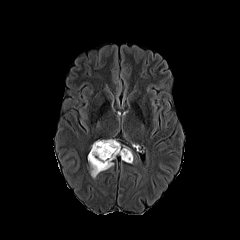
FLAIR MR image.
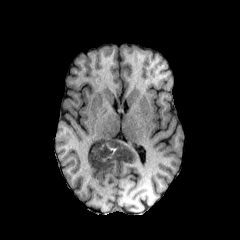
T1-weighted magnetic resonance.
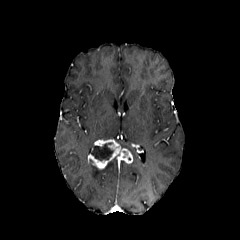
Post-contrast T1-weighted MR.
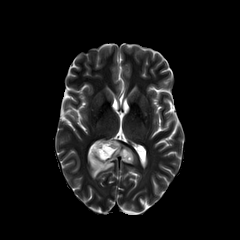
T2-weighted magnetic resonance.
Head; 240x240 px
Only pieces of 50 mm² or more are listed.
enhancing tumor = box(88, 139, 133, 169)
peritumoral edema = box(89, 160, 113, 178)
necrotic tumor core = box(90, 143, 113, 160)